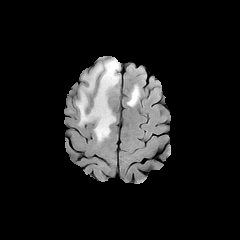
FLAIR MR image.
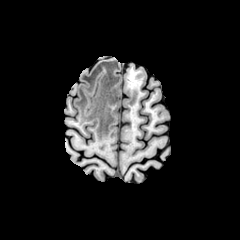
T1-weighted MR image of the same slice.
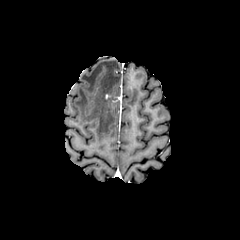
Post-contrast T1-weighted MRI of the same slice.
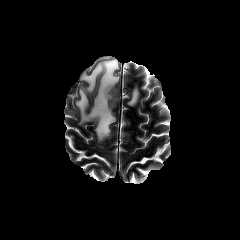
T2-weighted magnetic resonance of the same slice.
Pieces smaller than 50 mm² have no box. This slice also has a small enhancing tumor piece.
<segmentation>
  <peritumoral_edema>x1=76 y1=58 x2=120 y2=141, x1=127 y1=85 x2=139 y2=106</peritumoral_edema>
</segmentation>